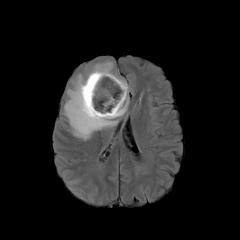
FLAIR MR image.
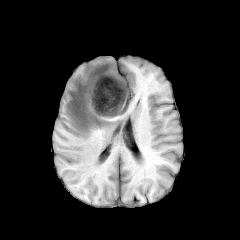
T1-weighted MR of the same slice.
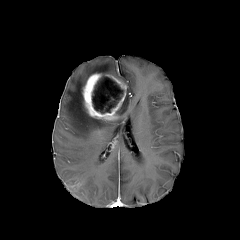
Same slice, post-contrast T1-weighted magnetic resonance.
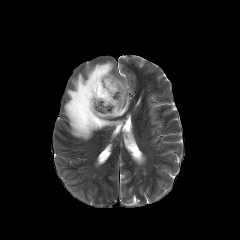
T2-weighted MR.
240x240
* enhancing tumor: [82,73,127,120]
* peritumoral edema: [64,57,130,140]
* necrotic tumor core: [92,77,123,113]